240x240 | Axial plane | Brain
FLAIR MR.
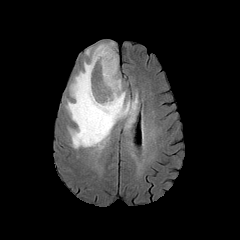
T1-weighted MR image.
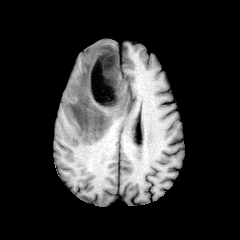
Post-contrast T1-weighted MRI.
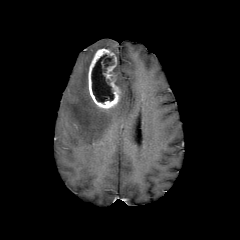
T2-weighted MR image.
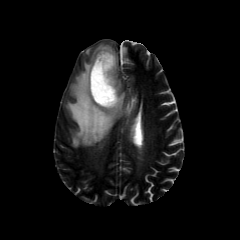
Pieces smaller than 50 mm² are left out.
Segmented structures:
* enhancing tumor: left=88, top=48, right=120, bottom=109
* necrotic tumor core: left=91, top=54, right=114, bottom=102
* peritumoral edema: left=65, top=42, right=138, bottom=149